FLAIR magnetic resonance.
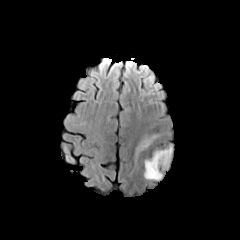
T1-weighted MR.
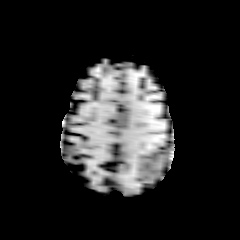
Post-contrast T1-weighted MR.
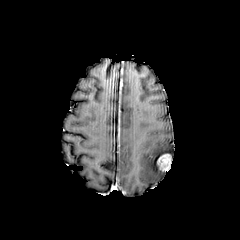
T2-weighted MR.
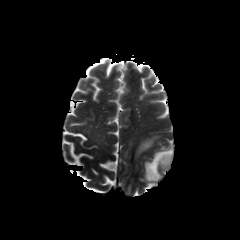
peritumoral edema: (x1=144, y1=147, x2=172, y2=180), (x1=135, y1=136, x2=154, y2=156)
enhancing tumor: (x1=157, y1=154, x2=171, y2=169)